Axial view. Brain.
FLAIR magnetic resonance.
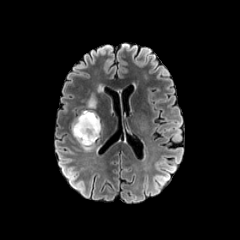
T1-weighted MR.
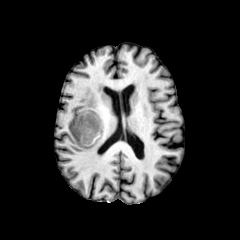
Post-contrast T1-weighted MRI.
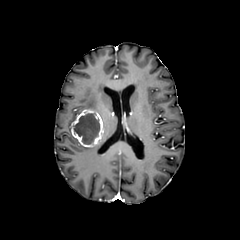
T2-weighted MR.
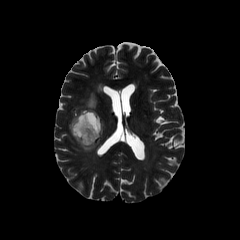
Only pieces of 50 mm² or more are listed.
<segmentation>
  <necrotic_tumor_core>box=[74, 113, 99, 144]</necrotic_tumor_core>
  <enhancing_tumor>box=[71, 109, 103, 147]</enhancing_tumor>
  <peritumoral_edema>box=[87, 94, 95, 109]</peritumoral_edema>
</segmentation>